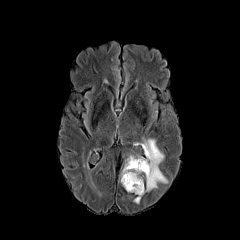
FLAIR MRI.
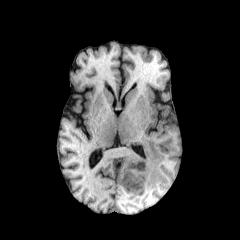
Same slice, T1-weighted MR image.
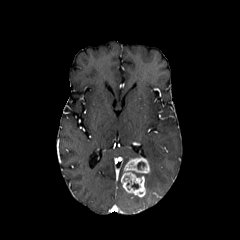
Post-contrast T1-weighted MR of the same slice.
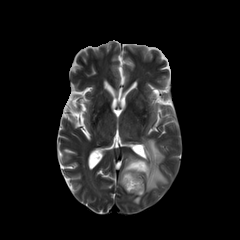
T2-weighted MR.
Brain | 240x240 px
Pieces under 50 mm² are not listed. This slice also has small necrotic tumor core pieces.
peritumoral_edema:
  - 135:139:167:191
enhancing_tumor:
  - 121:157:150:197